Axial slice; Slice 84 of 155; Brain
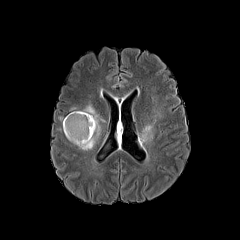
FLAIR MRI.
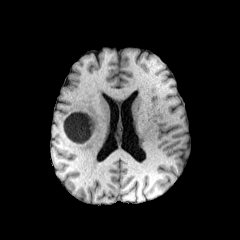
T1-weighted MRI of the same slice.
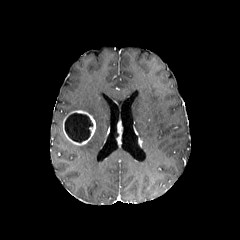
Post-contrast T1-weighted magnetic resonance of the same slice.
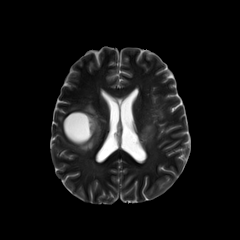
T2-weighted magnetic resonance.
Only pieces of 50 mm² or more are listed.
{"enhancing_tumor": ["(63, 110, 95, 145)", "(117, 123, 122, 143)"], "necrotic_tumor_core": ["(65, 113, 92, 142)"], "peritumoral_edema": ["(78, 104, 104, 150)", "(140, 122, 154, 143)"]}